FLAIR magnetic resonance.
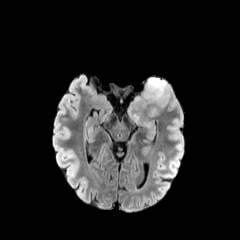
T1-weighted MRI.
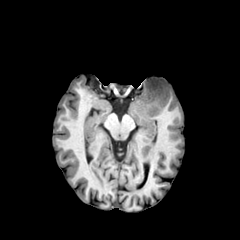
Post-contrast T1-weighted MRI.
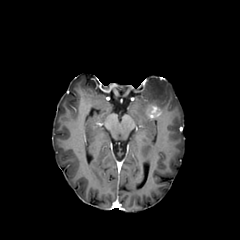
T2-weighted magnetic resonance.
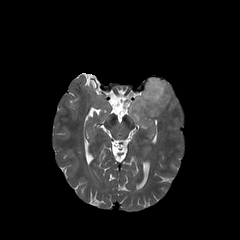
Head, Axial plane
{
  "enhancing_tumor": [
    "146 105 161 118"
  ],
  "peritumoral_edema": [
    "128 77 169 123"
  ]
}